FLAIR MR.
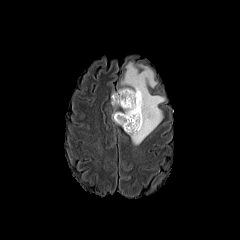
T1-weighted MR.
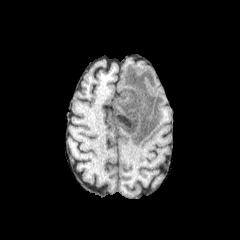
Post-contrast T1-weighted MR image.
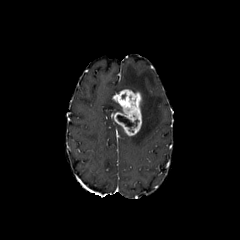
T2-weighted MR.
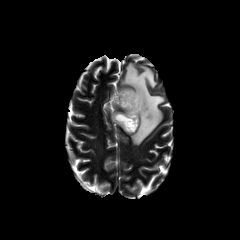
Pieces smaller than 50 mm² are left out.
enhancing tumor: 111,89,141,135
peritumoral edema: 111,59,166,145; 111,100,120,108
necrotic tumor core: 117,115,138,127